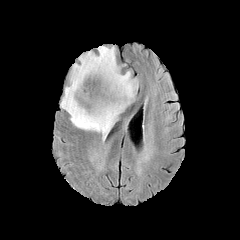
FLAIR MRI.
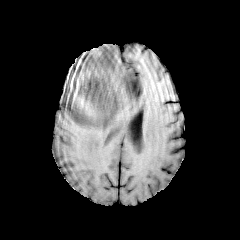
Same slice, T1-weighted MR image.
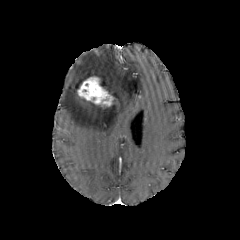
Post-contrast T1-weighted magnetic resonance.
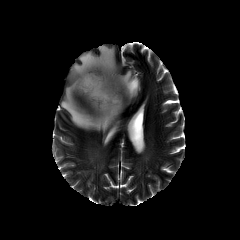
T2-weighted MR.
Brain
{
  "enhancing_tumor": [
    "<box>77,76,118,107</box>"
  ],
  "peritumoral_edema": [
    "<box>61,45,139,137</box>"
  ]
}